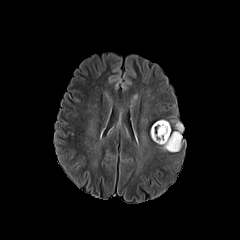
FLAIR MR image.
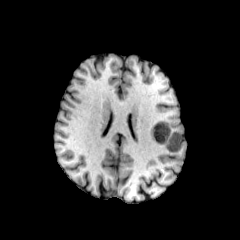
T1-weighted MR image.
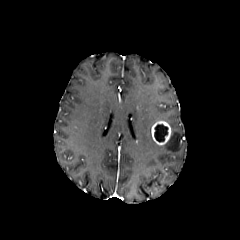
Post-contrast T1-weighted magnetic resonance.
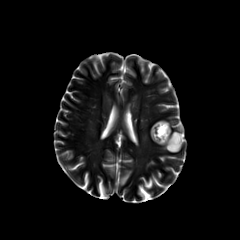
T2-weighted MR image.
Head
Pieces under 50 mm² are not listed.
<segmentation>
  <necrotic_tumor_core>bbox=[154, 124, 168, 142]</necrotic_tumor_core>
  <enhancing_tumor>bbox=[151, 120, 170, 144]</enhancing_tumor>
  <peritumoral_edema>bbox=[161, 120, 183, 152]</peritumoral_edema>
</segmentation>